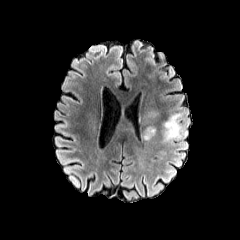
FLAIR magnetic resonance.
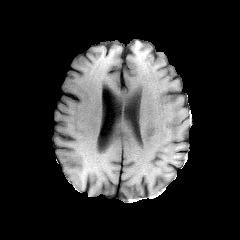
T1-weighted MR of the same slice.
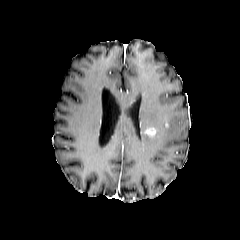
Post-contrast T1-weighted MRI.
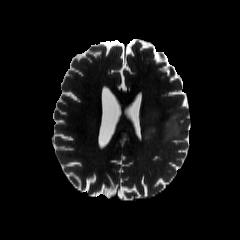
T2-weighted MR image.
Axial plane | Head
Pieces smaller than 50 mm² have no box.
Annotated regions:
* peritumoral edema: left=161, top=113, right=183, bottom=142; left=142, top=111, right=159, bottom=124
* enhancing tumor: left=145, top=128, right=155, bottom=135